Head. Image width 240 mm. Slice 89 of 155. Axial plane.
FLAIR MRI.
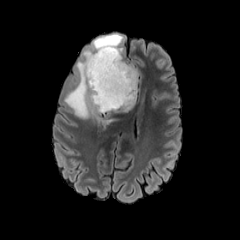
T1-weighted magnetic resonance.
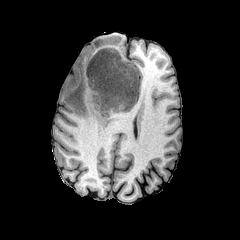
Post-contrast T1-weighted MR.
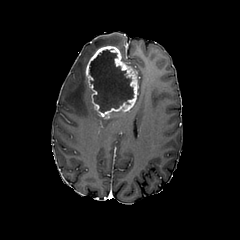
T2-weighted magnetic resonance.
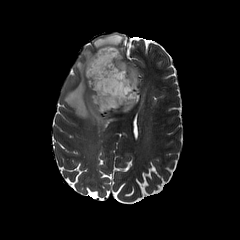
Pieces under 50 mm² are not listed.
peritumoral_edema:
  - [x1=93, y1=34, x2=123, y2=54]
  - [x1=64, y1=48, x2=118, y2=128]
necrotic_tumor_core:
  - [x1=89, y1=49, x2=134, y2=113]
enhancing_tumor:
  - [x1=85, y1=46, x2=137, y2=117]